Axial plane, Head
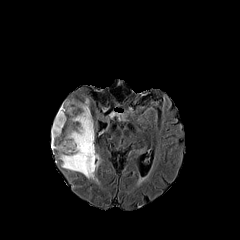
FLAIR MR.
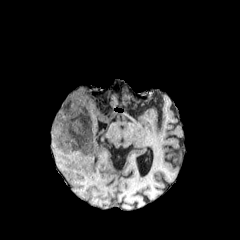
Same slice, T1-weighted MRI.
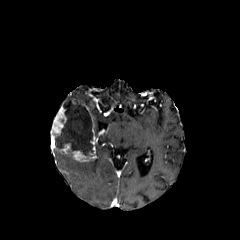
Same slice, post-contrast T1-weighted MRI.
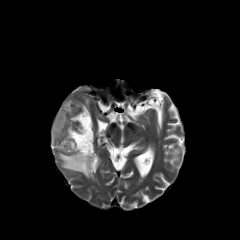
T2-weighted MR image of the same slice.
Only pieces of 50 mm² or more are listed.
The largest necrotic tumor core region appears at box(55, 99, 93, 156). The largest peritumoral edema region appears at box(58, 152, 96, 179). The 2 largest enhancing tumor regions are located at box(71, 113, 96, 161); box(50, 104, 71, 154).